Head; Slice index 77; Image covers 240 mm x 240 mm
FLAIR magnetic resonance.
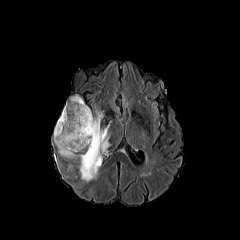
T1-weighted magnetic resonance.
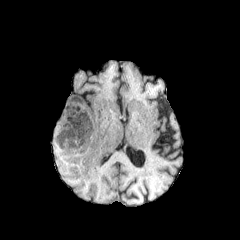
Post-contrast T1-weighted magnetic resonance.
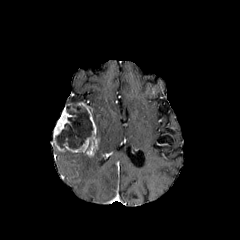
T2-weighted MR.
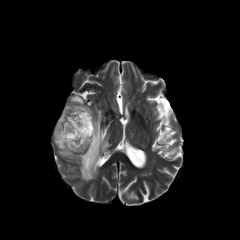
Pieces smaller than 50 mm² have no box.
Segmented structures:
- necrotic tumor core: <bbox>55, 101, 93, 149</bbox>
- enhancing tumor: <bbox>53, 105, 75, 151</bbox>, <bbox>63, 102, 99, 157</bbox>
- peritumoral edema: <bbox>77, 113, 110, 181</bbox>, <bbox>58, 150, 75, 157</bbox>, <bbox>70, 95, 83, 102</bbox>